FLAIR MRI.
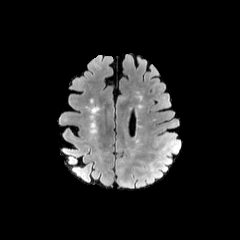
T1-weighted magnetic resonance.
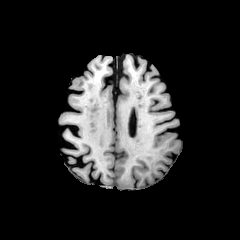
Post-contrast T1-weighted magnetic resonance.
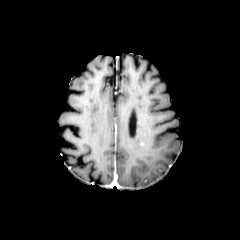
T2-weighted MR image.
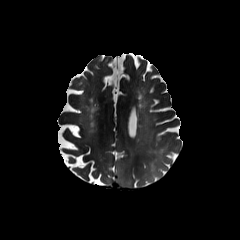
{"peritumoral_edema": ["<bbox>118, 179, 146, 189</bbox>"]}